FLAIR MR image.
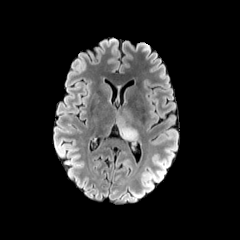
T1-weighted MR image.
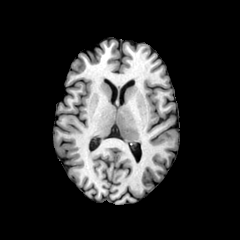
Post-contrast T1-weighted MR.
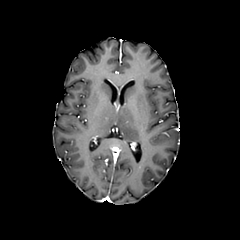
T2-weighted MRI.
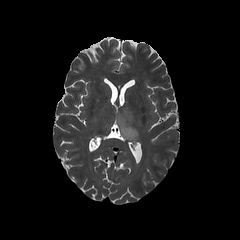
Brain; Axial slice
peritumoral edema: box(117, 107, 138, 140)